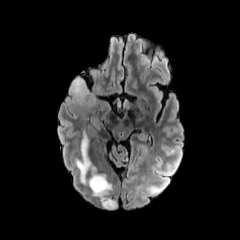
FLAIR MR.
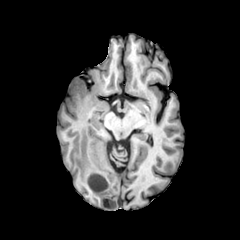
T1-weighted magnetic resonance.
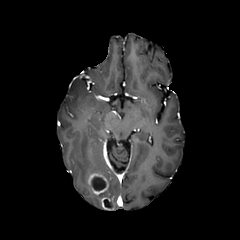
Post-contrast T1-weighted MR image.
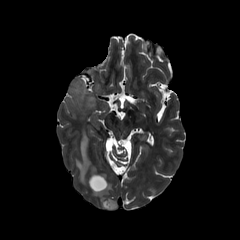
T2-weighted magnetic resonance.
Head; 240x240
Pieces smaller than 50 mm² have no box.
necrotic tumor core at (92, 177, 105, 190), (104, 199, 112, 208)
enhancing tumor at (87, 172, 108, 195), (101, 197, 114, 209)
peritumoral edema at (76, 131, 97, 183), (69, 77, 100, 107), (93, 182, 112, 201)